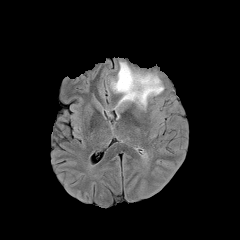
FLAIR magnetic resonance.
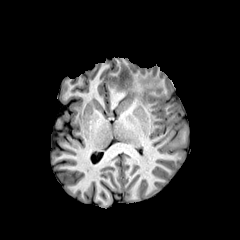
T1-weighted MR image.
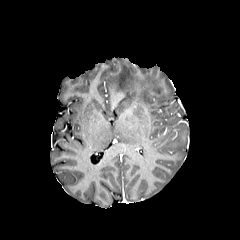
Post-contrast T1-weighted MR.
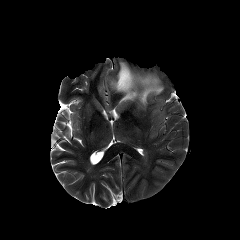
T2-weighted MR.
Image size 240x240; Head
peritumoral edema — bbox=[111, 62, 163, 111]